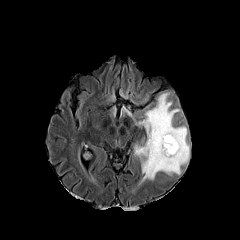
FLAIR MRI.
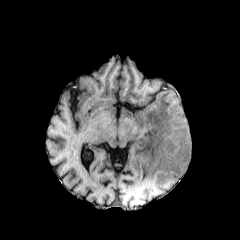
T1-weighted MR.
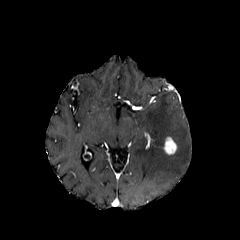
Same slice, post-contrast T1-weighted magnetic resonance.
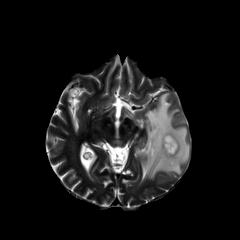
T2-weighted magnetic resonance.
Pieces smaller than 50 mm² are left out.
{
  "enhancing_tumor": [
    "rect(163, 136, 177, 154)"
  ],
  "peritumoral_edema": [
    "rect(124, 92, 190, 184)"
  ]
}